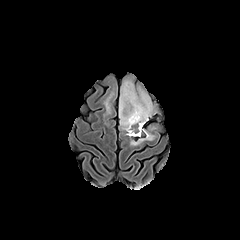
FLAIR MRI.
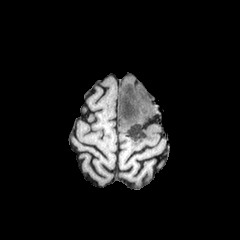
T1-weighted MR.
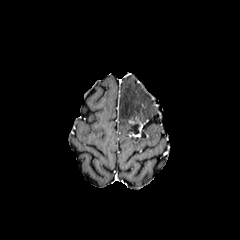
Post-contrast T1-weighted MR.
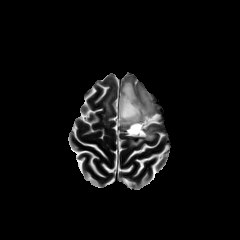
T2-weighted MR image.
Axial slice.
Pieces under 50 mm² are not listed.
enhancing tumor at box(128, 117, 145, 137)
peritumoral edema at box(119, 79, 155, 131); box(104, 95, 111, 112); box(130, 127, 155, 145)
necrotic tumor core at box(128, 123, 139, 134); box(121, 91, 140, 121)